240x240 px | Axial view | Slice index 76
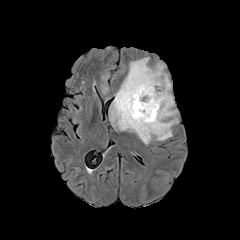
FLAIR MR.
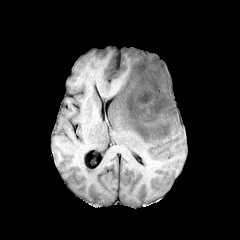
T1-weighted MR of the same slice.
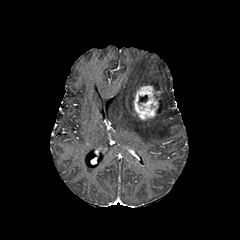
Post-contrast T1-weighted magnetic resonance.
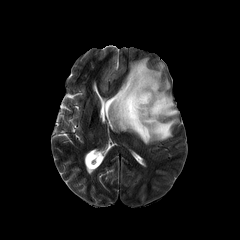
Same slice, T2-weighted MR.
The enhancing tumor is bounded by [126, 85, 160, 120]. The necrotic tumor core is located at [139, 95, 147, 102]. The peritumoral edema lies within [109, 57, 178, 144].